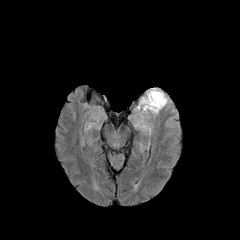
FLAIR MR.
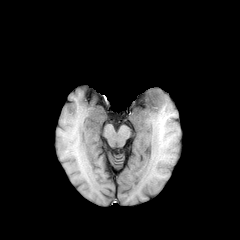
T1-weighted magnetic resonance.
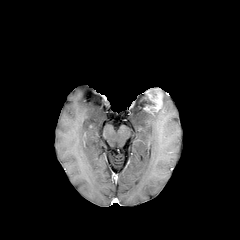
Post-contrast T1-weighted magnetic resonance.
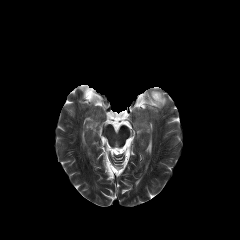
T2-weighted MR image of the same slice.
240x240; Axial plane
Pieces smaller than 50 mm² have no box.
enhancing tumor = box=[144, 89, 162, 111]
peritumoral edema = box=[137, 97, 157, 113]